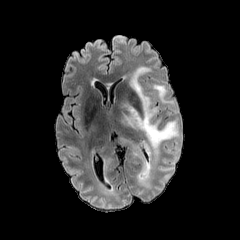
FLAIR magnetic resonance.
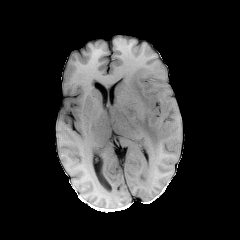
T1-weighted magnetic resonance.
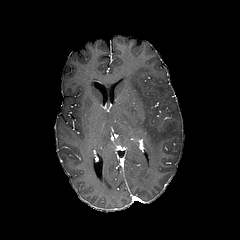
Same slice, post-contrast T1-weighted MR image.
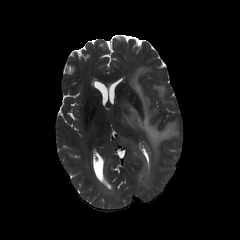
T2-weighted magnetic resonance.
Axial view; Head
peritumoral edema = x1=119, y1=66, x2=178, y2=157; x1=152, y1=84, x2=172, y2=103; x1=119, y1=138, x2=139, y2=156; x1=142, y1=162, x2=150, y2=173